FLAIR MR.
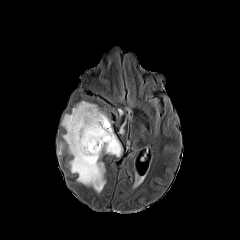
T1-weighted MR.
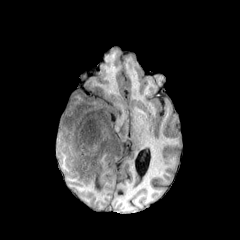
Post-contrast T1-weighted MR image.
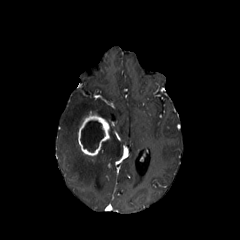
T2-weighted MR.
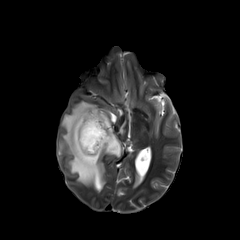
Brain; Axial slice
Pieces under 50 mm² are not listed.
enhancing tumor at (78,111,110,156)
peritumoral edema at (57,101,122,192)
necrotic tumor core at (80,121,105,152)